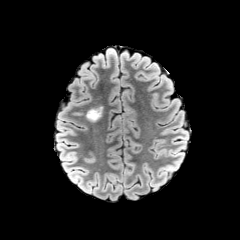
FLAIR magnetic resonance.
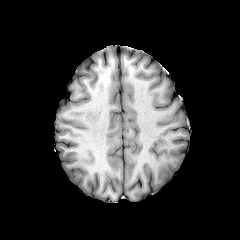
T1-weighted magnetic resonance of the same slice.
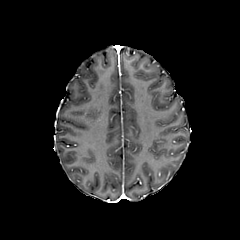
Same slice, post-contrast T1-weighted MRI.
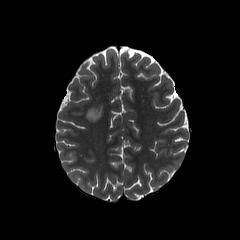
T2-weighted MRI.
Head | Axial slice
peritumoral edema: 86 106 102 121